Head
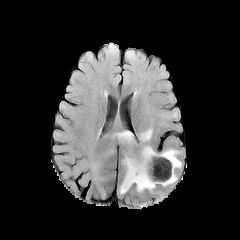
FLAIR MR.
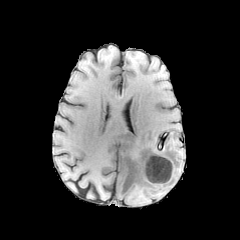
T1-weighted MR.
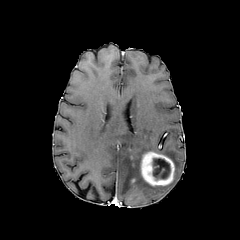
Post-contrast T1-weighted magnetic resonance.
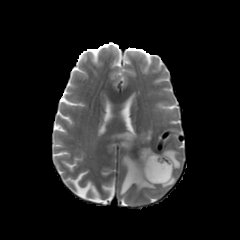
T2-weighted MR image.
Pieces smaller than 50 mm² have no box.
The largest enhancing tumor region is at rect(140, 151, 174, 185). The necrotic tumor core is at rect(153, 158, 170, 179). The 4 largest peritumoral edema regions are located at rect(116, 131, 134, 145); rect(161, 149, 181, 169); rect(120, 146, 155, 194); rect(139, 128, 152, 141).